Brain
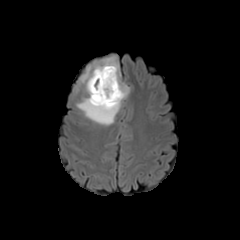
FLAIR MR image.
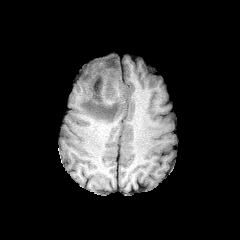
Same slice, T1-weighted magnetic resonance.
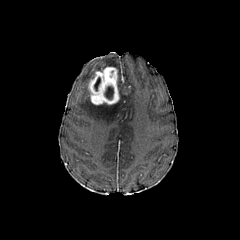
Same slice, post-contrast T1-weighted MRI.
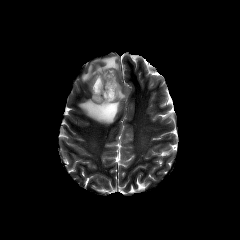
T2-weighted MRI.
enhancing tumor: 88 66 119 104 | necrotic tumor core: 104 86 113 99, 94 77 100 90 | peritumoral edema: 77 56 129 125